240x240
FLAIR magnetic resonance.
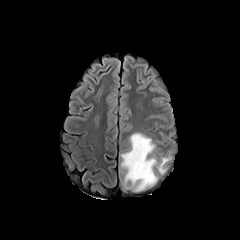
T1-weighted MR.
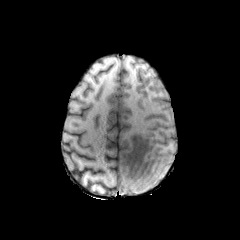
Post-contrast T1-weighted MRI.
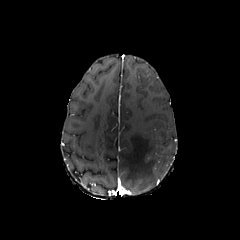
T2-weighted magnetic resonance.
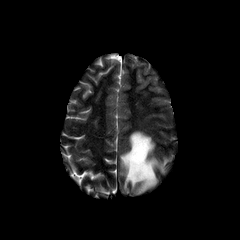
<segmentation>
  <peritumoral_edema>[121, 132, 172, 191]</peritumoral_edema>
</segmentation>